FLAIR MR image.
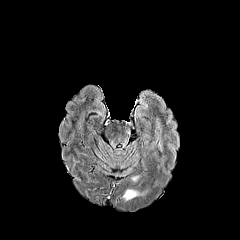
T1-weighted magnetic resonance.
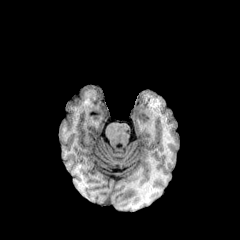
Post-contrast T1-weighted MRI.
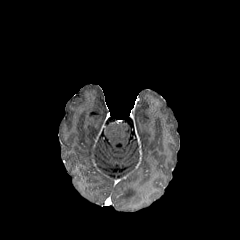
T2-weighted magnetic resonance.
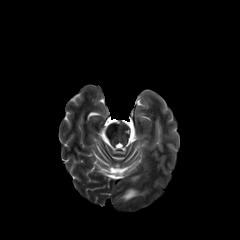
Axial view | Brain
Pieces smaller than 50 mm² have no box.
peritumoral edema at bbox(122, 189, 143, 200)